Brain; Axial plane; 240x240
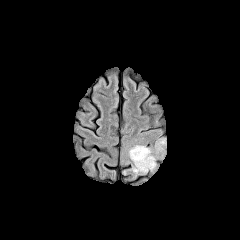
FLAIR MR.
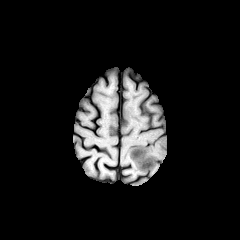
T1-weighted MR image.
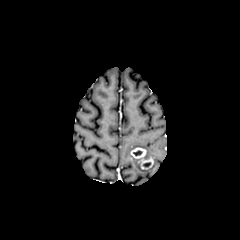
Same slice, post-contrast T1-weighted MR.
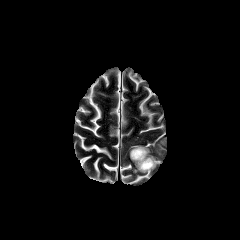
Same slice, T2-weighted MRI.
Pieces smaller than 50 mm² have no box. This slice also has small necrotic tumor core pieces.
peritumoral edema at bbox=[157, 139, 166, 150]; bbox=[128, 145, 156, 173]
enhancing tumor at bbox=[130, 147, 153, 169]